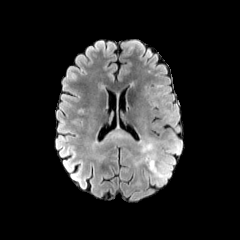
FLAIR MRI.
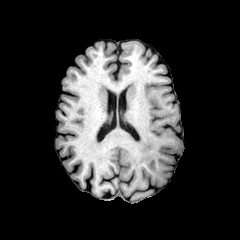
T1-weighted MR image of the same slice.
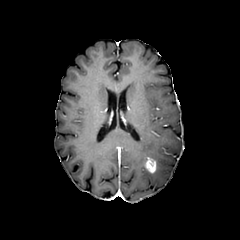
Post-contrast T1-weighted MR image.
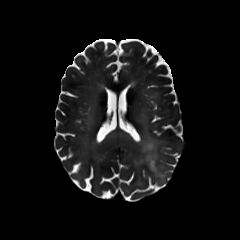
T2-weighted MRI.
Head
- enhancing tumor: bbox(145, 158, 156, 173)
- peritumoral edema: bbox(152, 164, 167, 182); bbox(135, 138, 159, 165)